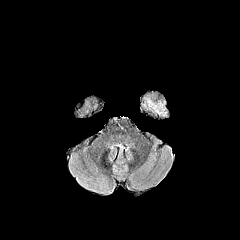
FLAIR MRI.
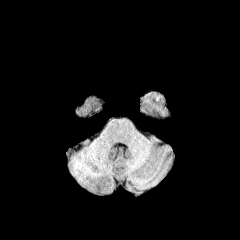
Same slice, T1-weighted MRI.
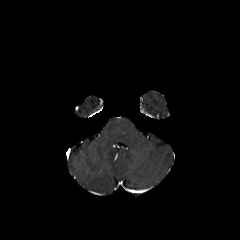
Post-contrast T1-weighted MR.
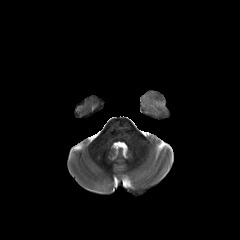
T2-weighted magnetic resonance of the same slice.
Axial plane
The peritumoral edema lies within box=[144, 96, 164, 111].